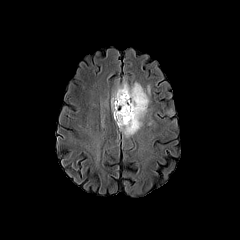
FLAIR MRI.
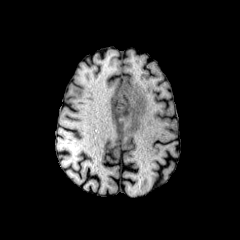
T1-weighted MR image.
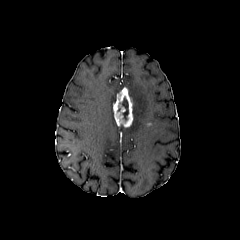
Post-contrast T1-weighted MRI.
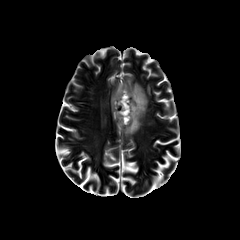
Same slice, T2-weighted MRI.
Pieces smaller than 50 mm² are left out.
{
  "necrotic_tumor_core": [
    "(121,97,128,120)"
  ],
  "enhancing_tumor": [
    "(113,87,133,127)"
  ],
  "peritumoral_edema": [
    "(111,80,149,137)",
    "(167,108,175,117)"
  ]
}